FLAIR MR image.
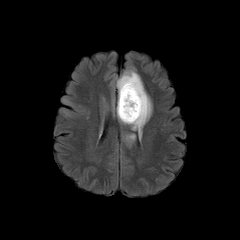
T1-weighted magnetic resonance.
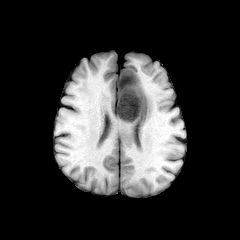
Post-contrast T1-weighted MR.
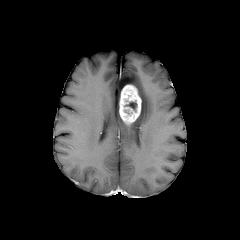
T2-weighted MRI.
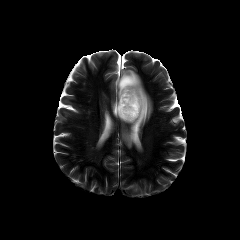
240x240 | Axial view | Head
necrotic_tumor_core:
  - 126:102:136:109
enhancing_tumor:
  - 119:84:141:124
peritumoral_edema:
  - 116:69:152:138
  - 123:133:135:146